Head. Slice 73 of 155.
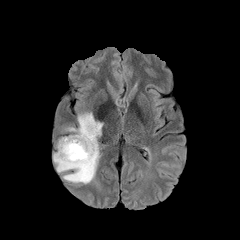
FLAIR MR image.
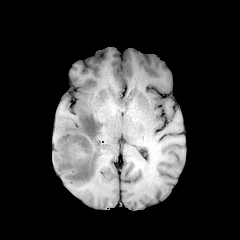
T1-weighted MR image.
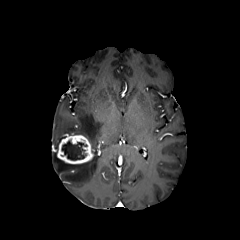
Post-contrast T1-weighted MR of the same slice.
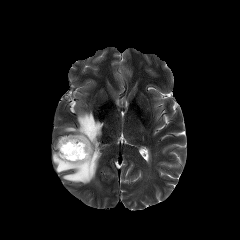
T2-weighted MR image of the same slice.
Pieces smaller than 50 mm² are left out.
enhancing tumor — box=[57, 134, 94, 164]
necrotic tumor core — box=[62, 141, 86, 160]
peritumoral edema — box=[53, 112, 103, 183]